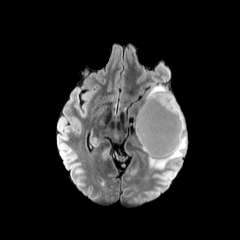
FLAIR magnetic resonance.
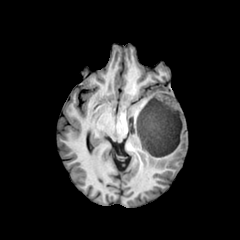
T1-weighted MR image of the same slice.
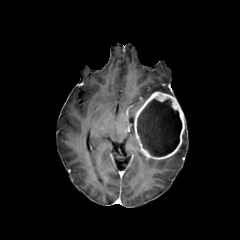
Post-contrast T1-weighted MR.
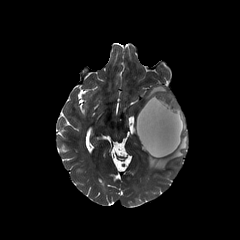
T2-weighted MRI.
Axial slice.
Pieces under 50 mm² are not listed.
- peritumoral edema: 148, 121, 187, 169; 144, 85, 174, 102
- necrotic tumor core: 137, 99, 181, 156
- enhancing tumor: 134, 91, 184, 159